FLAIR MR image.
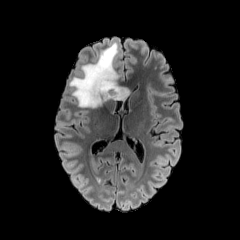
T1-weighted magnetic resonance.
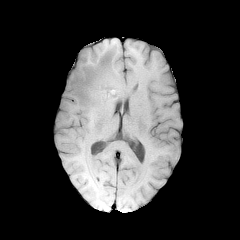
Post-contrast T1-weighted magnetic resonance.
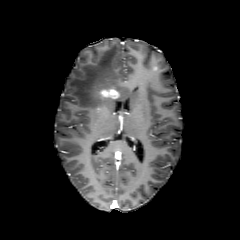
T2-weighted MR.
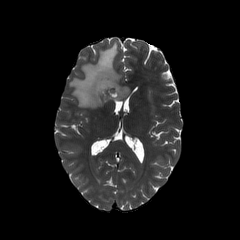
Axial view
* peritumoral edema: <bbox>69, 43, 129, 108</bbox>
* enhancing tumor: <bbox>98, 88, 119, 98</bbox>